Axial slice
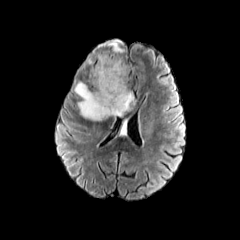
FLAIR MR image.
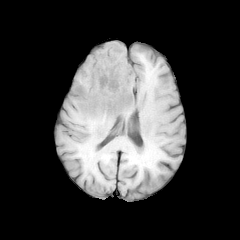
T1-weighted MR image.
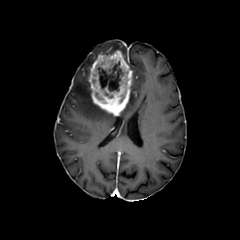
Post-contrast T1-weighted MR.
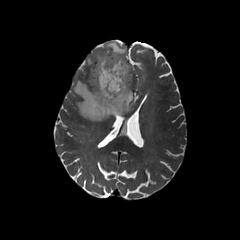
T2-weighted MR image.
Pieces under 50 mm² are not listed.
The 3 largest necrotic tumor core regions are located at box=[98, 61, 128, 91]; box=[95, 93, 107, 103]; box=[117, 94, 124, 104]. 4 peritumoral edema regions are located at box=[86, 51, 106, 66]; box=[119, 89, 136, 117]; box=[97, 39, 124, 55]; box=[73, 81, 114, 120]. The enhancing tumor is located at box=[88, 46, 132, 116].